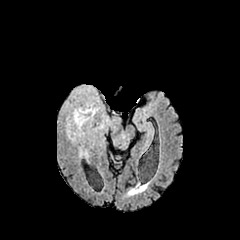
FLAIR MR image.
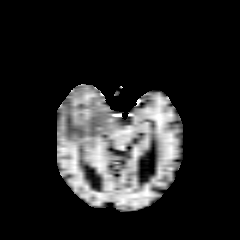
T1-weighted MRI of the same slice.
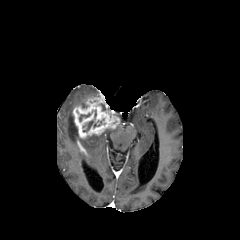
Post-contrast T1-weighted MR image.
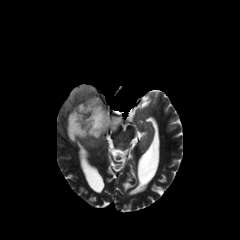
T2-weighted MR image of the same slice.
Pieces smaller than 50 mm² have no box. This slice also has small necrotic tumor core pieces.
peritumoral_edema:
  - x1=69, y1=86, x2=94, y2=104
  - x1=66, y1=112, x2=79, y2=142
enhancing_tumor:
  - x1=72, y1=97, x2=120, y2=139